Brain; Slice 102/155
FLAIR MR image.
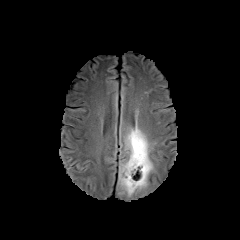
T1-weighted MR image.
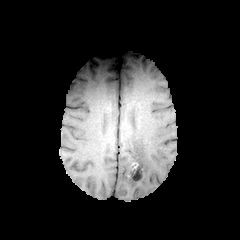
Post-contrast T1-weighted MR image.
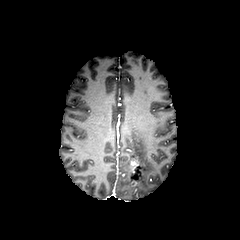
T2-weighted MRI.
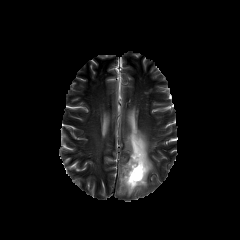
The necrotic tumor core lies within box=[131, 166, 142, 179]. The peritumoral edema is located at box=[119, 128, 153, 196]. The enhancing tumor appears at box=[130, 161, 143, 186].